FLAIR MRI.
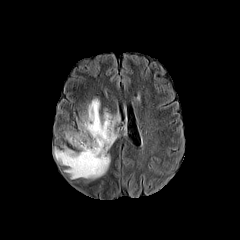
T1-weighted MRI.
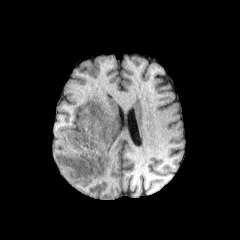
Post-contrast T1-weighted MR image.
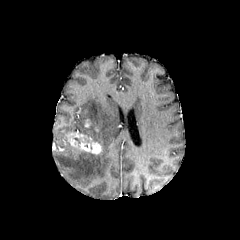
T2-weighted MRI.
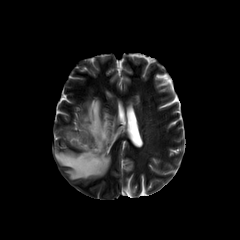
Brain. Axial slice.
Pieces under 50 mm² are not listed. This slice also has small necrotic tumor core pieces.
Segmented structures:
- enhancing tumor: 67, 132, 101, 154
- peritumoral edema: 52, 98, 120, 179